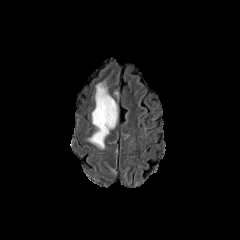
FLAIR MR.
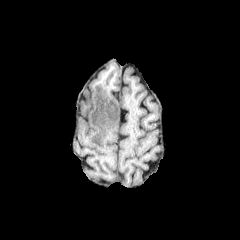
Same slice, T1-weighted magnetic resonance.
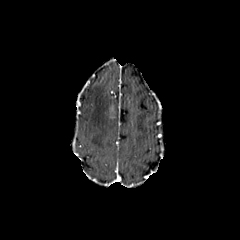
Post-contrast T1-weighted magnetic resonance of the same slice.
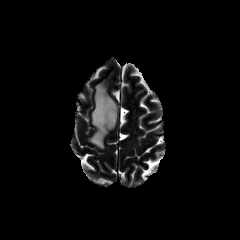
T2-weighted MR of the same slice.
Axial plane
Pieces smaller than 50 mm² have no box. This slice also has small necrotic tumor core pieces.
<segmentation>
  <enhancing_tumor>109:103:114:118</enhancing_tumor>
  <peritumoral_edema>89:83:117:148</peritumoral_edema>
</segmentation>